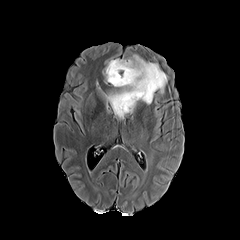
FLAIR magnetic resonance.
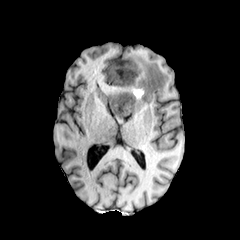
T1-weighted MR image.
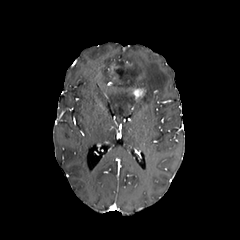
Post-contrast T1-weighted MRI.
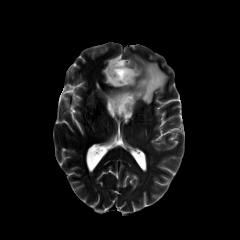
T2-weighted MRI.
Axial slice | Brain | 240x240
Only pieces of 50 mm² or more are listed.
enhancing tumor — (x1=108, y1=61, x2=119, y2=77), (x1=130, y1=88, x2=145, y2=99)
peritumoral edema — (x1=102, y1=55, x2=116, y2=81), (x1=103, y1=53, x2=169, y2=119)
necrotic tumor core — (x1=112, y1=60, x2=132, y2=97)